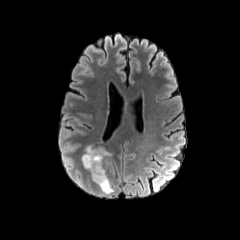
FLAIR MRI.
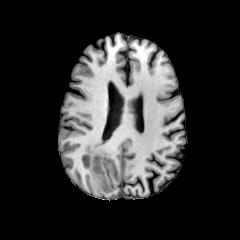
Same slice, T1-weighted MR.
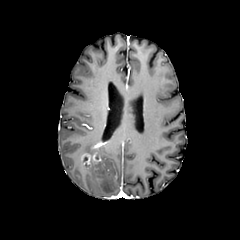
Same slice, post-contrast T1-weighted MRI.
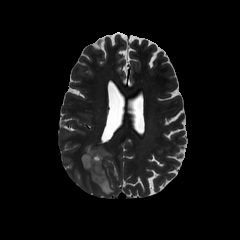
Same slice, T2-weighted MR.
Brain
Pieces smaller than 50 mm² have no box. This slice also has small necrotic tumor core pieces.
{"enhancing_tumor": ["[81, 152, 101, 166]"], "peritumoral_edema": ["[86, 146, 109, 159]", "[84, 161, 113, 194]"]}